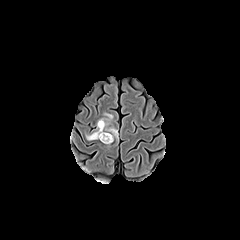
FLAIR MR.
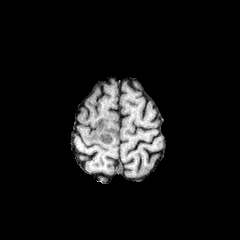
T1-weighted MR image.
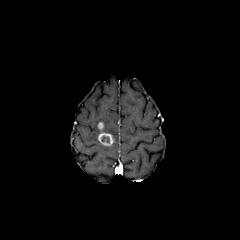
Post-contrast T1-weighted MRI.
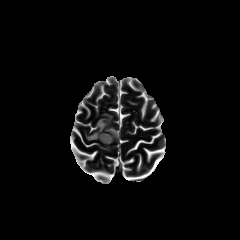
Same slice, T2-weighted magnetic resonance.
Axial slice
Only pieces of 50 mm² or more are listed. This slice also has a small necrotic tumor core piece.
enhancing_tumor:
  - (x1=98, y1=122, x2=113, y2=145)
peritumoral_edema:
  - (x1=86, y1=113, x2=118, y2=140)